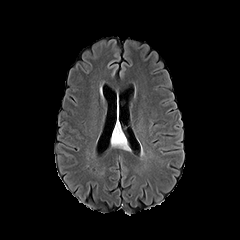
FLAIR magnetic resonance.
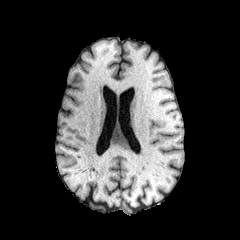
T1-weighted MR image.
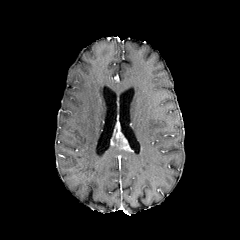
Post-contrast T1-weighted MR image.
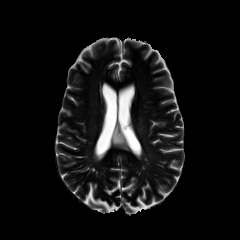
T2-weighted MR image.
240x240 px. Head.
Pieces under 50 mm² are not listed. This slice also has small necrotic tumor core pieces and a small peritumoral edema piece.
enhancing_tumor:
  - rect(111, 125, 129, 150)